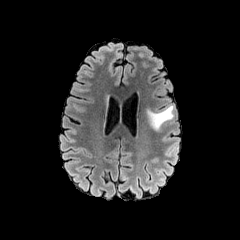
FLAIR magnetic resonance.
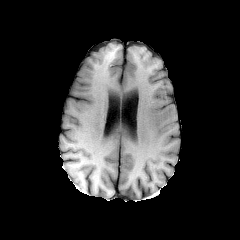
T1-weighted MR of the same slice.
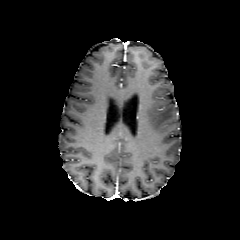
Post-contrast T1-weighted MRI of the same slice.
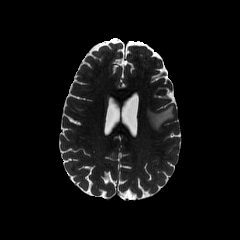
T2-weighted magnetic resonance of the same slice.
240x240 | Head
peritumoral edema at {"x1": 147, "y1": 105, "x2": 173, "y2": 130}